240x240 px; Brain; Slice index 76
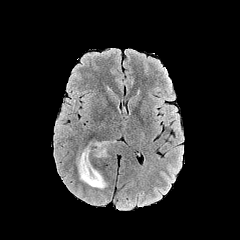
FLAIR MR.
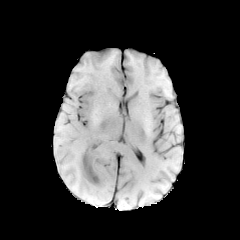
T1-weighted MR.
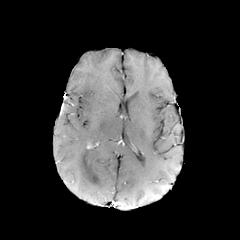
Post-contrast T1-weighted magnetic resonance.
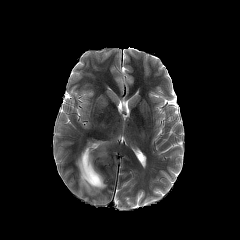
T2-weighted MRI.
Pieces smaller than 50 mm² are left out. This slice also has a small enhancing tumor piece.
Annotated regions:
• peritumoral edema: (left=76, top=141, right=109, bottom=189)